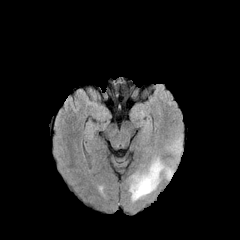
FLAIR MR.
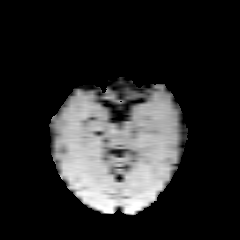
Same slice, T1-weighted MR.
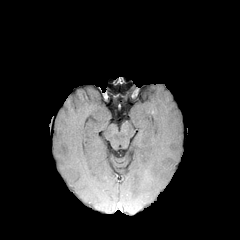
Post-contrast T1-weighted MR.
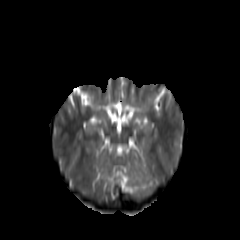
T2-weighted MRI of the same slice.
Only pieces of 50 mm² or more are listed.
Annotated regions:
- peritumoral edema: <bbox>129, 157, 164, 200</bbox>, <bbox>169, 140, 179, 153</bbox>